FLAIR MR.
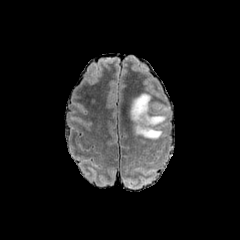
T1-weighted MR image.
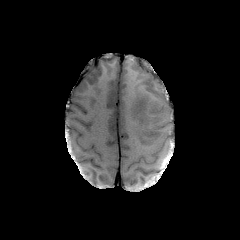
Post-contrast T1-weighted MR image.
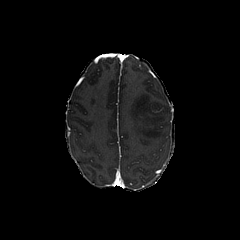
T2-weighted MRI.
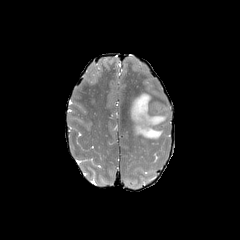
Brain.
peritumoral edema at 130,93,165,139